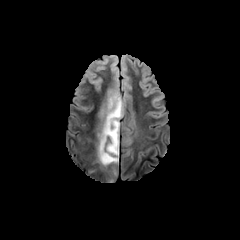
FLAIR magnetic resonance.
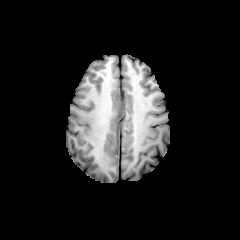
T1-weighted MR of the same slice.
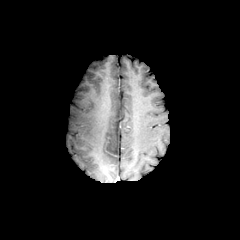
Same slice, post-contrast T1-weighted MR.
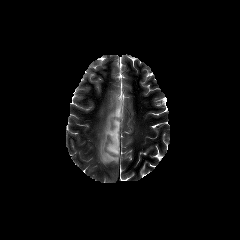
T2-weighted MRI.
Image size 240x240. Axial view. Brain.
{
  "peritumoral_edema": [
    {"x1": 98, "y1": 102, "x2": 122, "y2": 165}
  ]
}